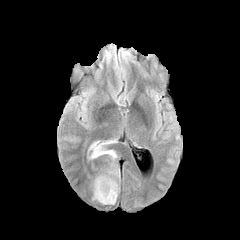
FLAIR MR.
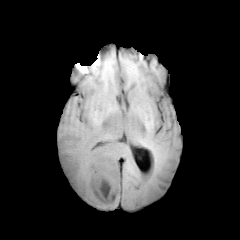
T1-weighted MRI of the same slice.
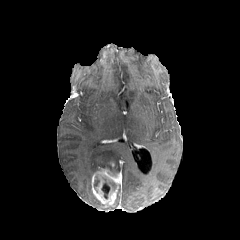
Post-contrast T1-weighted MR of the same slice.
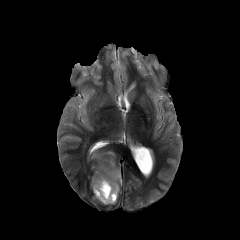
T2-weighted MRI.
Head; Image size 240x240
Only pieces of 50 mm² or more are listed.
The largest necrotic tumor core region is located at 101:182:110:198. The largest enhancing tumor region is at 91:168:121:205. The largest peritumoral edema region appears at 89:142:116:159.